FLAIR MR image.
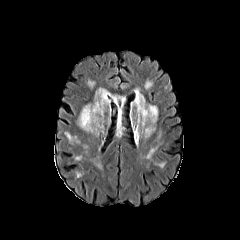
T1-weighted MR image.
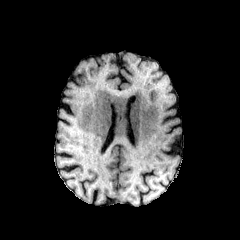
Post-contrast T1-weighted MR image.
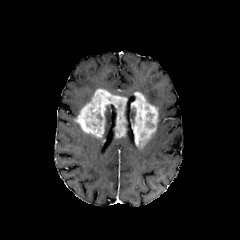
T2-weighted MR.
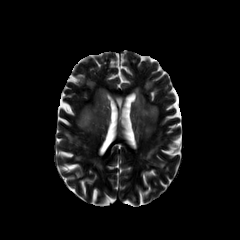
Axial view | Image size 240x240
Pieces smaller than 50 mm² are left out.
Segmented structures:
• peritumoral edema: box=[106, 107, 111, 124]
• enhancing tumor: box=[76, 89, 127, 137]; box=[131, 92, 158, 145]